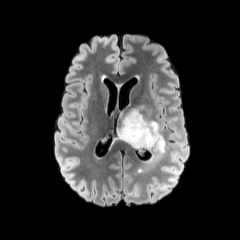
FLAIR MR image.
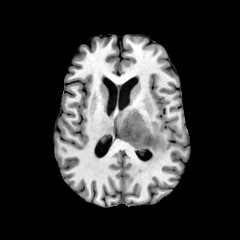
T1-weighted magnetic resonance.
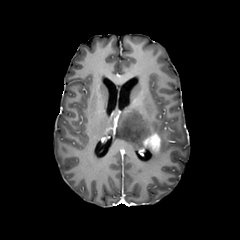
Same slice, post-contrast T1-weighted MR.
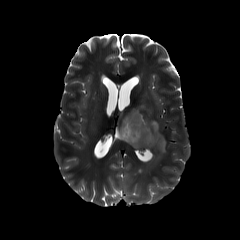
T2-weighted MRI of the same slice.
240x240 px | Head
The enhancing tumor is at (143, 133, 161, 150). The peritumoral edema is bounded by (117, 109, 165, 164).